Axial slice | 240x240 px | Head
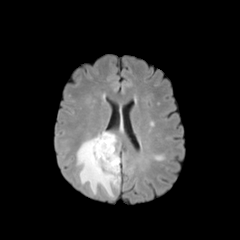
FLAIR MR.
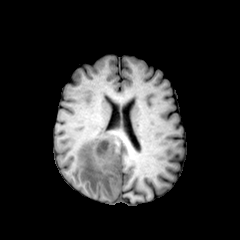
T1-weighted MR.
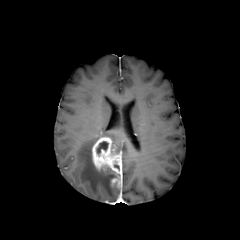
Post-contrast T1-weighted MR of the same slice.
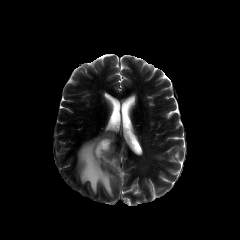
T2-weighted magnetic resonance.
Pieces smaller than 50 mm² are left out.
enhancing_tumor:
  - x1=92 y1=137 x2=121 y2=186
necrotic_tumor_core:
  - x1=96 y1=141 x2=108 y2=153
peritumoral_edema:
  - x1=77 y1=132 x2=119 y2=197